Slice index 69; Image size 240x240
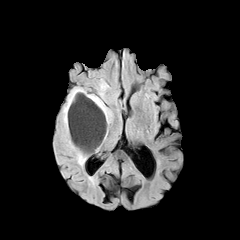
FLAIR MR.
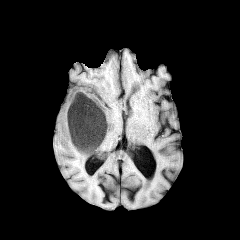
T1-weighted MR of the same slice.
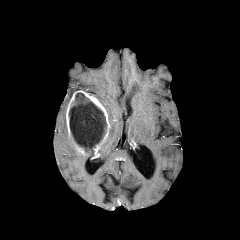
Post-contrast T1-weighted MR image.
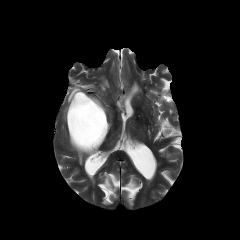
Same slice, T2-weighted MR.
3 peritumoral edema regions are bounded by x1=62, y1=86, x2=93, y2=165; x1=97, y1=81, x2=107, y2=97; x1=89, y1=94, x2=112, y2=124. The enhancing tumor lies within x1=66, y1=90, x2=110, y2=154. The necrotic tumor core is located at x1=69, y1=93, x2=106, y2=151.